Head, 240x240 px, Image width 240 mm, 1.00 mm slice spacing, Slice 52/155
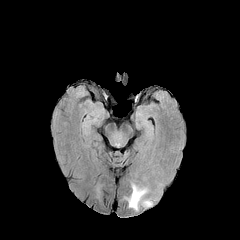
FLAIR MR.
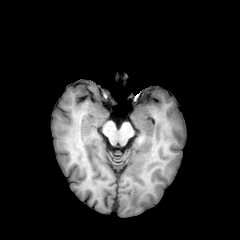
T1-weighted magnetic resonance.
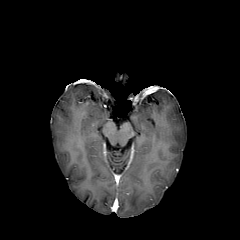
Same slice, post-contrast T1-weighted MRI.
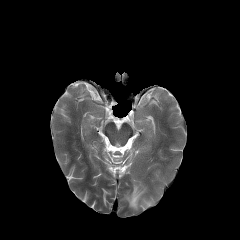
Same slice, T2-weighted MR image.
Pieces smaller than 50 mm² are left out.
peritumoral edema: box(128, 184, 146, 210)